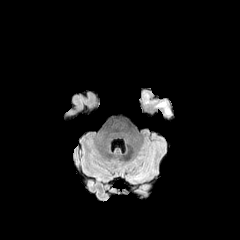
FLAIR magnetic resonance.
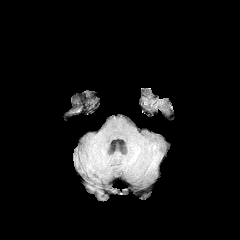
T1-weighted MR.
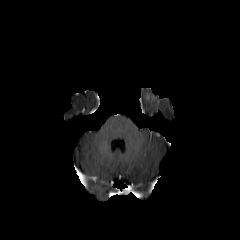
Post-contrast T1-weighted magnetic resonance.
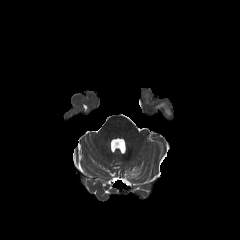
T2-weighted MR.
Axial plane. Brain.
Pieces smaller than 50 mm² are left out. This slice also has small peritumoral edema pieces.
The enhancing tumor is bounded by (145,94,156,102).